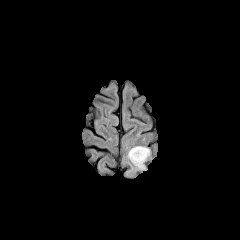
FLAIR MR.
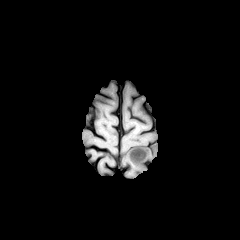
T1-weighted MR image of the same slice.
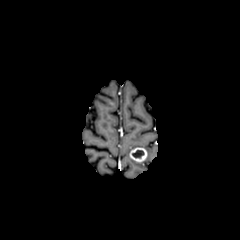
Same slice, post-contrast T1-weighted magnetic resonance.
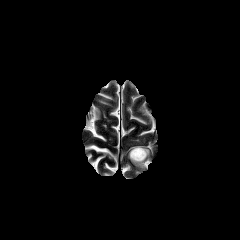
Same slice, T2-weighted MRI.
240x240 px
Findings:
* enhancing tumor: (129,147,147,162)
* necrotic tumor core: (132,150,144,157)
* peritumoral edema: (121,146,152,177)